FLAIR MRI.
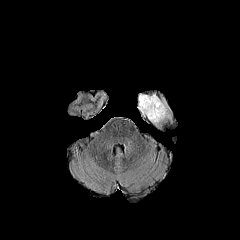
T1-weighted MR image.
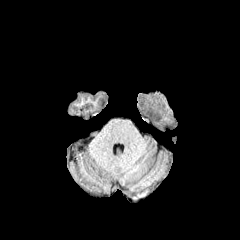
Post-contrast T1-weighted MR.
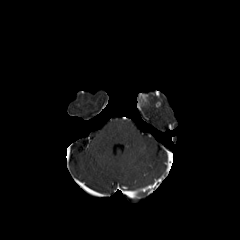
T2-weighted MR image.
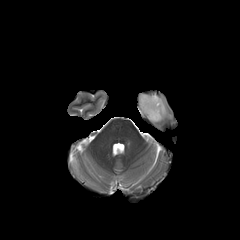
Head
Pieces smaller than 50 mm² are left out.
The largest peritumoral edema region is located at (139,95,169,124). The largest enhancing tumor region is at (138,93,148,107).